Axial plane, Slice index 83
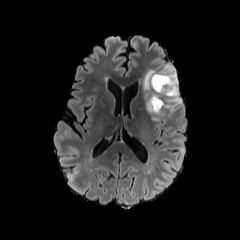
FLAIR magnetic resonance.
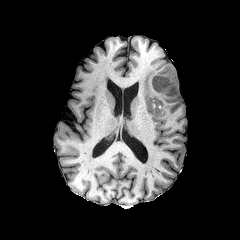
T1-weighted MR.
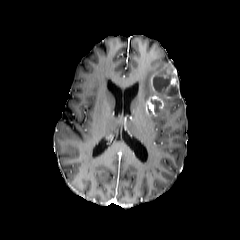
Post-contrast T1-weighted MRI.
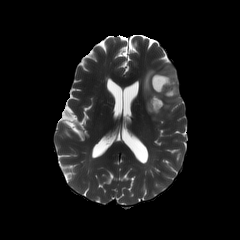
Same slice, T2-weighted MR image.
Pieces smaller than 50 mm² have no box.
enhancing tumor: 145:94:163:115, 151:65:179:100
peritumoral edema: 143:68:182:120
necrotic tumor core: 167:87:177:96, 153:76:171:92, 151:100:161:111